FLAIR MR image.
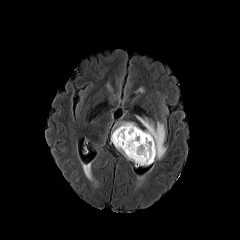
T1-weighted MR.
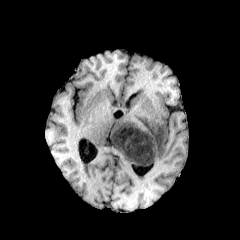
Post-contrast T1-weighted MRI.
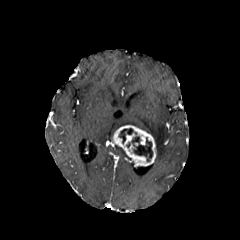
T2-weighted magnetic resonance.
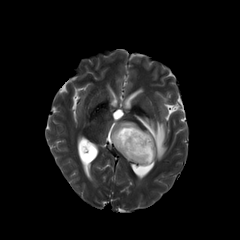
Brain.
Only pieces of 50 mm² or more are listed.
peritumoral edema: 115 145 130 160, 111 121 137 140, 136 116 167 160 | necrotic tumor core: 118 128 133 143, 131 136 152 161 | enhancing tumor: 112 125 156 166